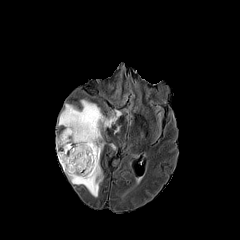
FLAIR MRI.
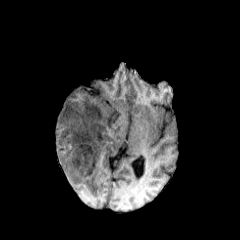
T1-weighted MRI of the same slice.
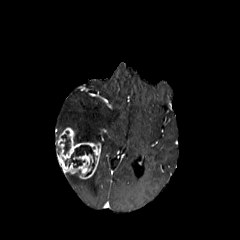
Same slice, post-contrast T1-weighted MR image.
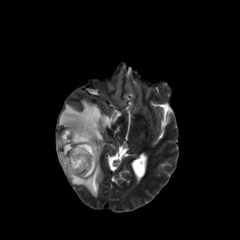
T2-weighted MRI.
Brain, Axial slice
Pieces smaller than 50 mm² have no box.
peritumoral edema: (x1=66, y1=163, x2=103, y2=197), (x1=58, y1=100, x2=121, y2=144)
necrotic tumor core: (x1=61, y1=134, x2=70, y2=154), (x1=69, y1=145, x2=94, y2=176)
enhancing tumor: (x1=56, y1=127, x2=101, y2=179)